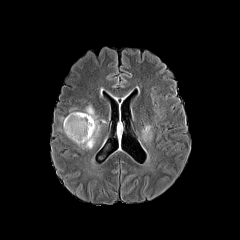
FLAIR MR image.
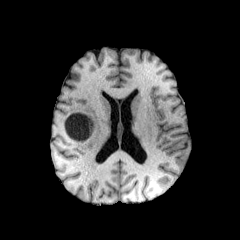
T1-weighted MR.
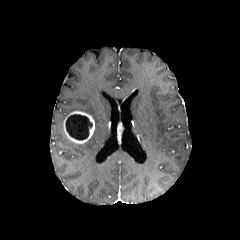
Post-contrast T1-weighted MR image of the same slice.
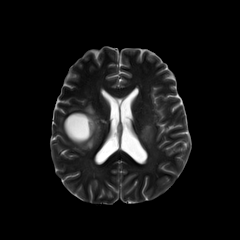
T2-weighted MRI.
Axial slice
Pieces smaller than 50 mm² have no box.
Segmented structures:
• enhancing tumor: box(117, 124, 122, 139); box(63, 111, 94, 143)
• peritumoral edema: box(142, 125, 152, 141); box(77, 105, 100, 149)
• necrotic tumor core: box(66, 114, 92, 140)